240x240 px; Head
FLAIR MRI.
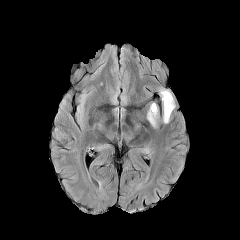
T1-weighted MR.
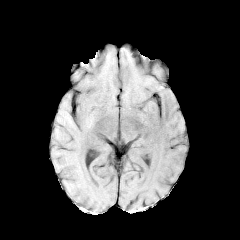
Post-contrast T1-weighted magnetic resonance.
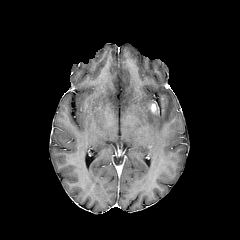
T2-weighted MR image.
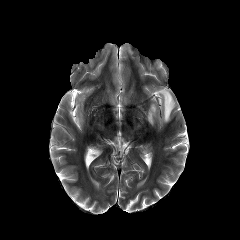
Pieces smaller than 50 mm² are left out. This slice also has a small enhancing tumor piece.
{
  "peritumoral_edema": [
    "(159, 88, 175, 123)",
    "(147, 104, 158, 127)"
  ]
}